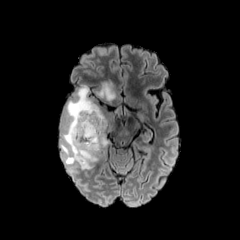
FLAIR MR.
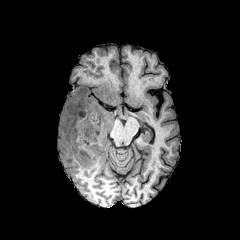
T1-weighted MR of the same slice.
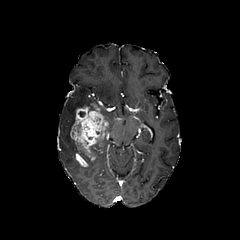
Post-contrast T1-weighted MR of the same slice.
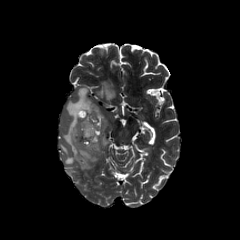
Same slice, T2-weighted magnetic resonance.
240x240.
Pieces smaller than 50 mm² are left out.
enhancing tumor: [70, 104, 108, 166]
peritumoral edema: [96, 77, 115, 102], [60, 85, 96, 164], [80, 156, 97, 169]
necrotic tumor core: [75, 137, 90, 162], [90, 144, 102, 153]